Head. Slice 119/155. 240x240 px.
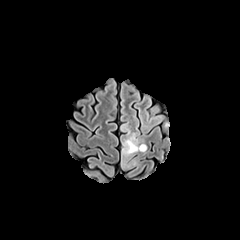
FLAIR MR.
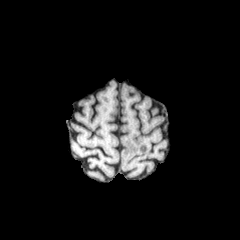
T1-weighted magnetic resonance of the same slice.
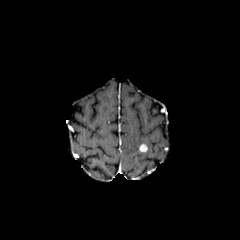
Post-contrast T1-weighted MRI.
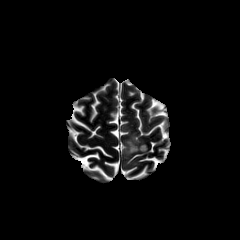
T2-weighted MR of the same slice.
Segmented structures:
* enhancing tumor: l=139, t=144, r=147, b=152
* peritumoral edema: l=122, t=133, r=138, b=166; l=121, t=124, r=129, b=134